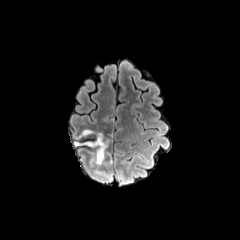
FLAIR MRI.
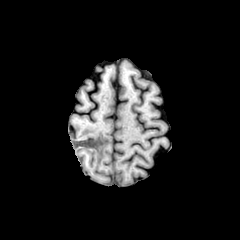
T1-weighted MRI of the same slice.
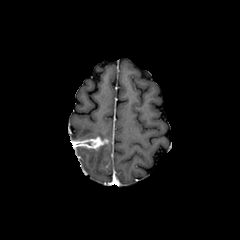
Post-contrast T1-weighted MR image.
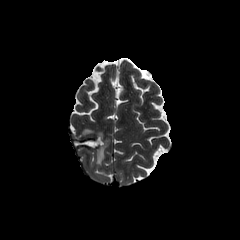
T2-weighted MR.
Axial plane
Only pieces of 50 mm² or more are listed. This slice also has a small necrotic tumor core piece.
peritumoral edema: (x1=96, y1=144, x2=107, y2=164), (x1=82, y1=129, x2=93, y2=135) | enhancing tumor: (x1=72, y1=136, x2=108, y2=149)